FLAIR MRI.
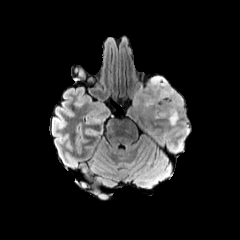
T1-weighted MR.
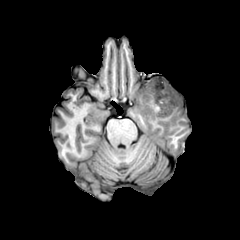
Post-contrast T1-weighted magnetic resonance.
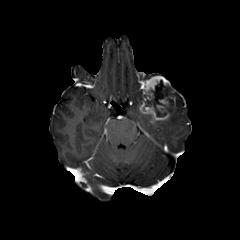
T2-weighted MR.
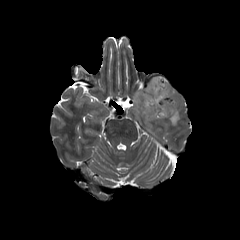
Axial plane
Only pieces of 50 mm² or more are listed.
{
  "enhancing_tumor": [
    "region(138, 75, 175, 120)"
  ],
  "necrotic_tumor_core": [
    "region(145, 79, 173, 116)"
  ],
  "peritumoral_edema": [
    "region(134, 88, 141, 107)",
    "region(167, 91, 182, 125)"
  ]
}